FLAIR magnetic resonance.
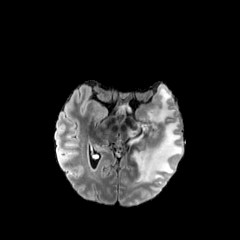
T1-weighted magnetic resonance.
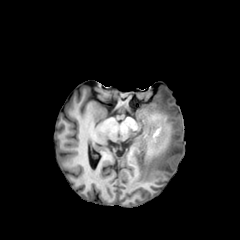
Post-contrast T1-weighted MRI.
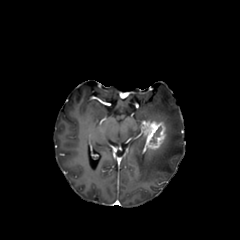
T2-weighted MRI.
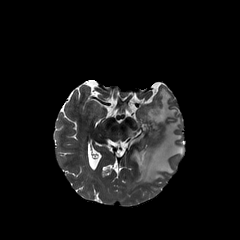
Image size 240x240
<segmentation>
  <necrotic_tumor_core>rect(150, 126, 161, 142)</necrotic_tumor_core>
  <enhancing_tumor>rect(141, 120, 166, 150)</enhancing_tumor>
  <peritumoral_edema>rect(127, 122, 141, 137); rect(127, 86, 183, 182)</peritumoral_edema>
</segmentation>